FLAIR MR.
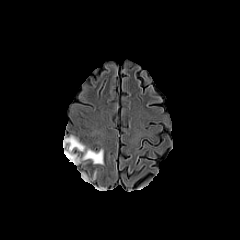
T1-weighted MR.
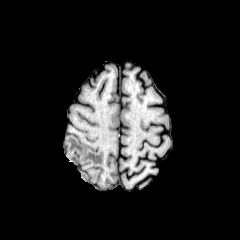
Post-contrast T1-weighted MR.
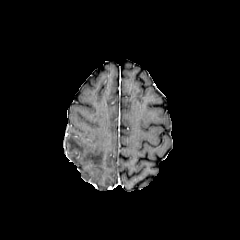
T2-weighted MRI.
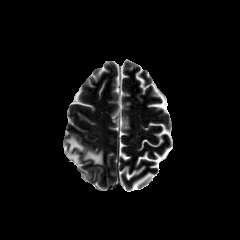
Head
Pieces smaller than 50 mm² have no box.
The 2 largest peritumoral edema regions are bounded by <bbox>82, 149, 103, 164</bbox>, <bbox>65, 136, 85, 164</bbox>.